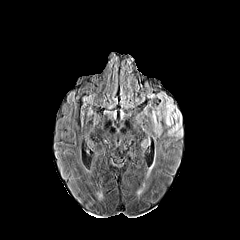
FLAIR MRI.
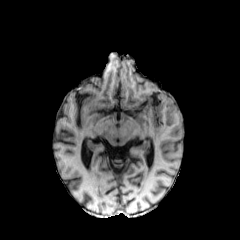
Same slice, T1-weighted MR image.
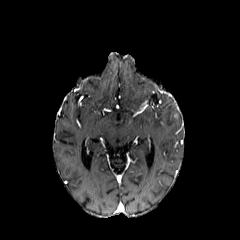
Post-contrast T1-weighted MR.
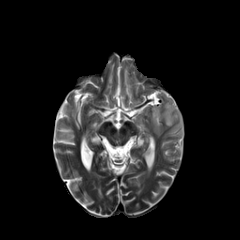
T2-weighted magnetic resonance.
Axial slice. Head.
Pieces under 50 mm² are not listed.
Annotated regions:
• peritumoral edema: left=152, top=96, right=181, bottom=135